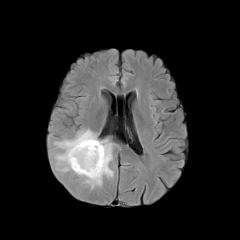
FLAIR MR image.
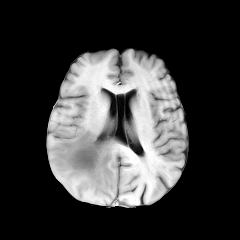
T1-weighted magnetic resonance of the same slice.
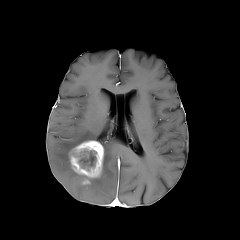
Post-contrast T1-weighted MRI of the same slice.
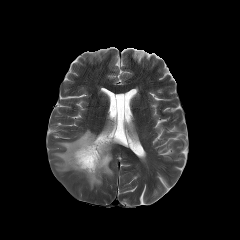
T2-weighted MR.
Head
{
  "enhancing_tumor": [
    "<box>69,140,103,184</box>"
  ],
  "necrotic_tumor_core": [
    "<box>74,148,97,170</box>"
  ],
  "peritumoral_edema": [
    "<box>54,129,113,188</box>"
  ]
}